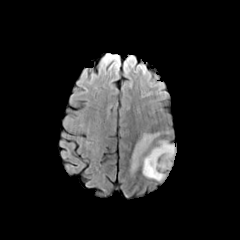
FLAIR MRI.
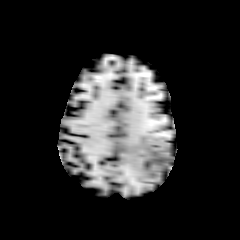
T1-weighted MR image of the same slice.
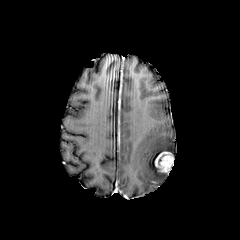
Post-contrast T1-weighted MRI of the same slice.
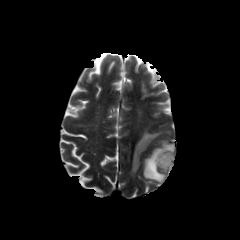
T2-weighted MR image of the same slice.
Brain. Axial slice.
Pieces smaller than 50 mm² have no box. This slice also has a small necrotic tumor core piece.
enhancing tumor = region(155, 152, 173, 172)
peritumoral edema = region(131, 133, 158, 172); region(143, 141, 174, 181)